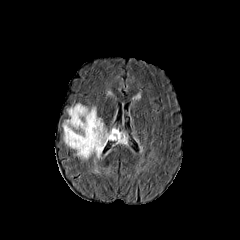
FLAIR MRI.
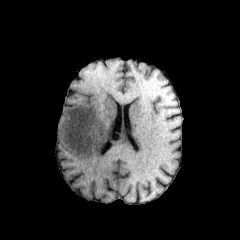
T1-weighted MR of the same slice.
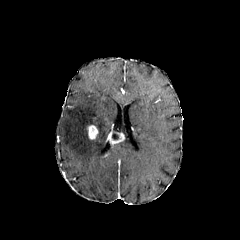
Post-contrast T1-weighted MR.
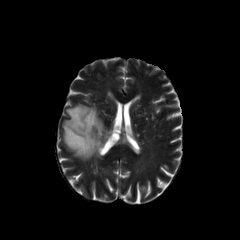
Same slice, T2-weighted MRI.
Image size 240x240
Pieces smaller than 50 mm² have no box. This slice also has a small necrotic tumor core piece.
2 enhancing tumor regions are bounded by box(106, 130, 124, 144); box(87, 125, 98, 139). The 3 largest peritumoral edema regions are bounded by box(132, 92, 141, 101); box(62, 103, 110, 174); box(112, 126, 133, 150).